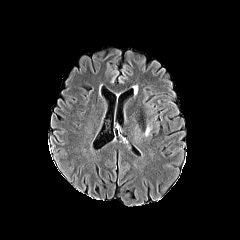
FLAIR MR.
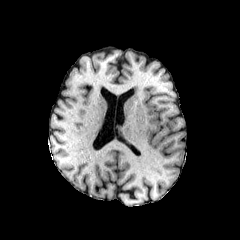
Same slice, T1-weighted magnetic resonance.
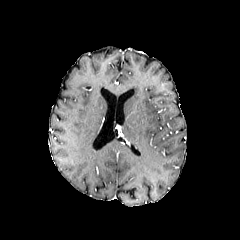
Post-contrast T1-weighted MR image of the same slice.
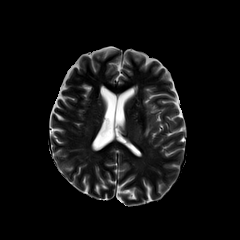
T2-weighted MRI.
Brain
peritumoral edema: bbox(145, 124, 151, 136)